Head, Image covers 240 mm x 240 mm, Slice index 83
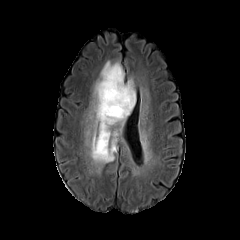
FLAIR MR.
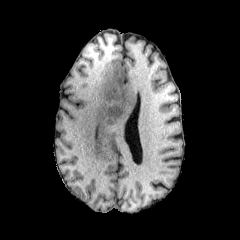
T1-weighted MR of the same slice.
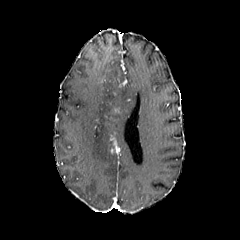
Same slice, post-contrast T1-weighted MR image.
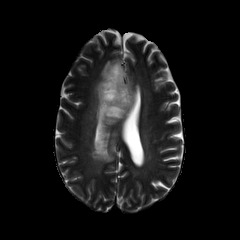
T2-weighted MRI.
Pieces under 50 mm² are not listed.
Segmented structures:
• peritumoral edema: 91, 61, 135, 163
• enhancing tumor: 111, 138, 117, 152